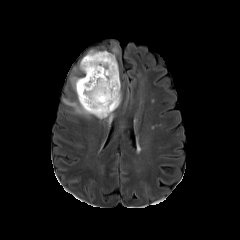
FLAIR magnetic resonance.
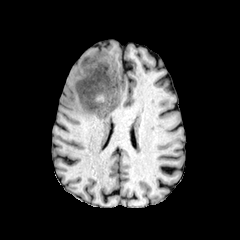
T1-weighted MR.
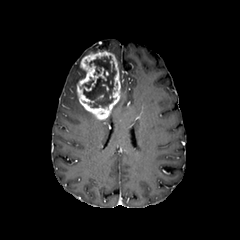
Post-contrast T1-weighted MR.
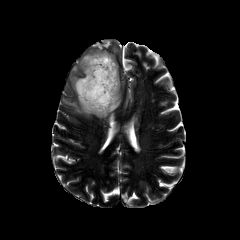
T2-weighted MR image of the same slice.
Head. Axial slice.
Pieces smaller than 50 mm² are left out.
necrotic tumor core: x1=80, y1=77, x2=94, y2=88; x1=83, y1=56, x2=116, y2=107
enhancing tumor: x1=77, y1=51, x2=120, y2=119
peritumoral edema: x1=63, y1=98, x2=93, y2=117; x1=70, y1=64, x2=86, y2=93; x1=110, y1=92, x2=121, y2=115